FLAIR magnetic resonance.
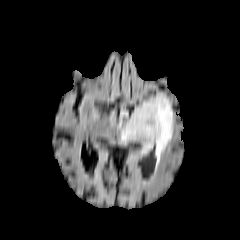
T1-weighted magnetic resonance.
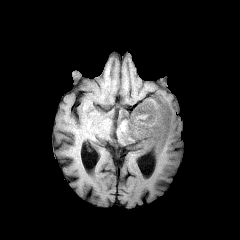
Post-contrast T1-weighted MR image.
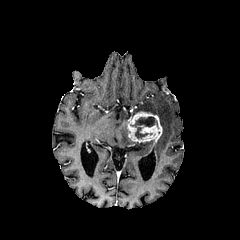
T2-weighted MRI.
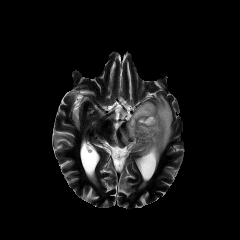
Image size 240x240.
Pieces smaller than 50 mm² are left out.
The enhancing tumor appears at bbox(127, 111, 162, 142). The largest peritumoral edema region is located at bbox(121, 94, 173, 163). The necrotic tumor core lies within bbox(131, 117, 157, 138).